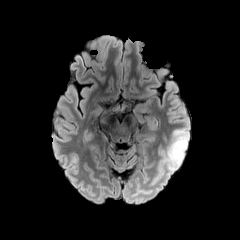
FLAIR MR.
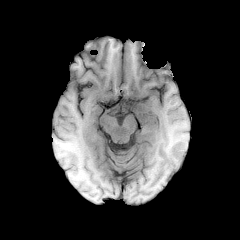
T1-weighted MRI.
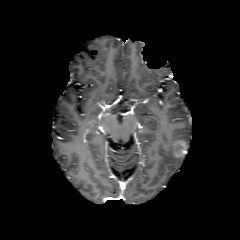
Same slice, post-contrast T1-weighted MR image.
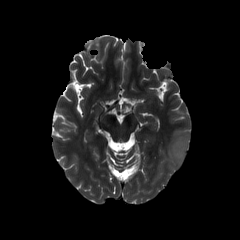
T2-weighted magnetic resonance of the same slice.
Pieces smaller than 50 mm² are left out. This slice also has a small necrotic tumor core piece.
Segmented structures:
- enhancing tumor: (172, 139, 187, 158)
- peritumoral edema: (159, 128, 189, 175)